Brain | Image covers 240 mm x 240 mm | Image size 240x240
FLAIR MR.
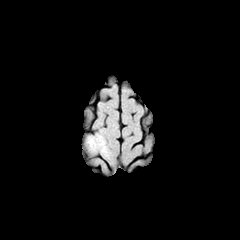
T1-weighted MR.
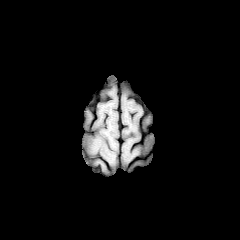
Post-contrast T1-weighted MR.
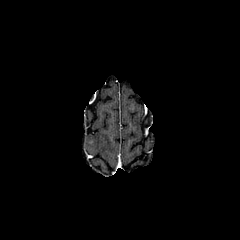
T2-weighted MRI.
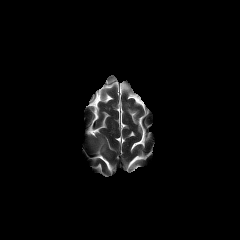
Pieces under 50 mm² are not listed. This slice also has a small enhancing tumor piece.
peritumoral edema: region(83, 133, 114, 167)